Slice 90 of 155, Brain
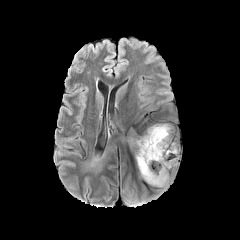
FLAIR MR image.
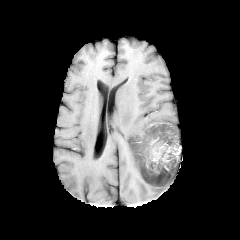
T1-weighted MR image of the same slice.
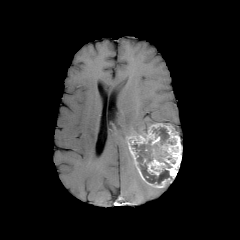
Same slice, post-contrast T1-weighted MR image.
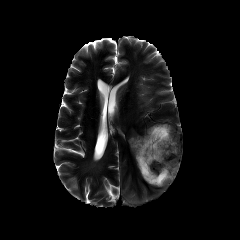
Same slice, T2-weighted MR image.
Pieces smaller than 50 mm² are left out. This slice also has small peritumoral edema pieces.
The largest enhancing tumor region is at {"x1": 128, "y1": 123, "x2": 181, "y2": 188}. The 2 largest necrotic tumor core regions are located at {"x1": 132, "y1": 140, "x2": 171, "y2": 184}, {"x1": 153, "y1": 127, "x2": 168, "y2": 144}.